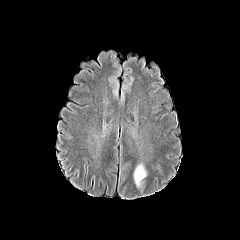
FLAIR MR image.
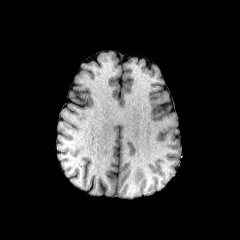
Same slice, T1-weighted MRI.
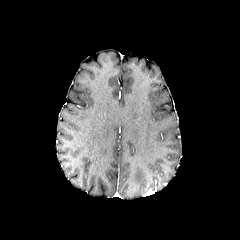
Post-contrast T1-weighted MR of the same slice.
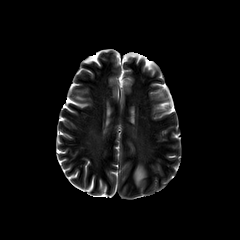
T2-weighted MRI.
Axial view
peritumoral edema at left=134, top=164, right=146, bottom=186